FLAIR MR image.
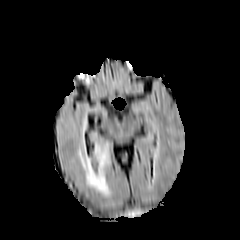
T1-weighted MR.
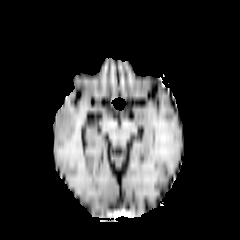
Post-contrast T1-weighted MRI.
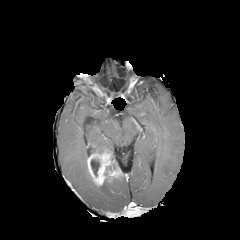
T2-weighted MR.
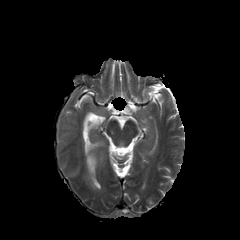
enhancing tumor: 87 149 121 186 | necrotic tumor core: 91 159 99 176 | peritumoral edema: 78 148 109 195, 93 141 110 152